Axial plane
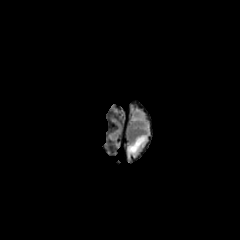
FLAIR MR.
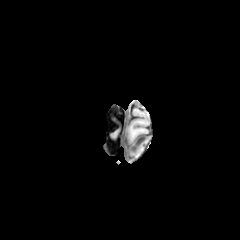
T1-weighted magnetic resonance.
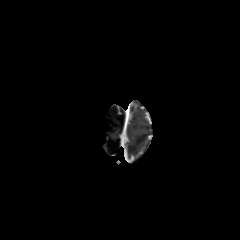
Same slice, post-contrast T1-weighted MRI.
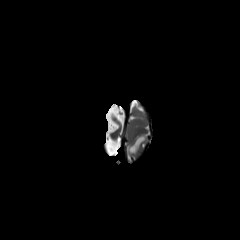
T2-weighted MR.
<segmentation>
  <peritumoral_edema>128 135 146 153</peritumoral_edema>
</segmentation>